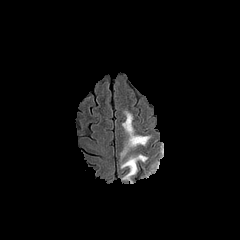
FLAIR magnetic resonance.
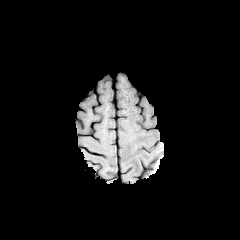
Same slice, T1-weighted magnetic resonance.
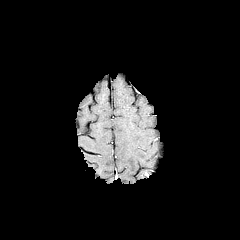
Same slice, post-contrast T1-weighted MR.
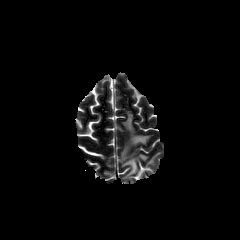
T2-weighted MR.
Axial plane, Brain
<segmentation>
  <peritumoral_edema>rect(121, 154, 148, 183); rect(120, 111, 151, 161)</peritumoral_edema>
</segmentation>